FLAIR MR.
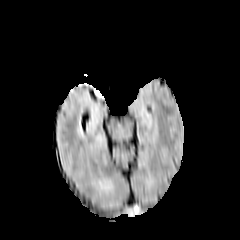
T1-weighted MR.
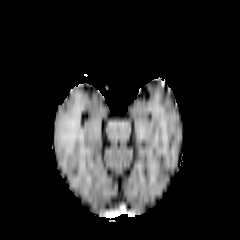
Post-contrast T1-weighted magnetic resonance.
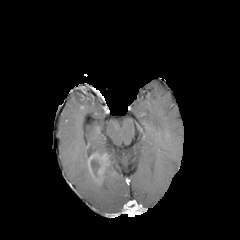
T2-weighted MRI.
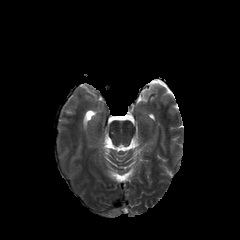
Axial slice. Brain.
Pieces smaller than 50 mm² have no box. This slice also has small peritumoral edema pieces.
{"enhancing_tumor": ["box=[87, 154, 105, 179]"], "necrotic_tumor_core": ["box=[90, 159, 101, 177]"]}